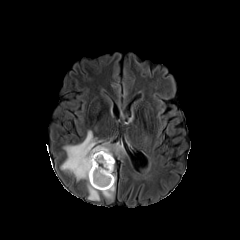
FLAIR MR.
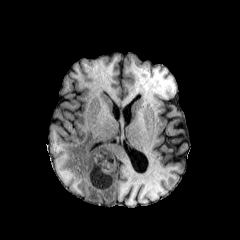
T1-weighted MR of the same slice.
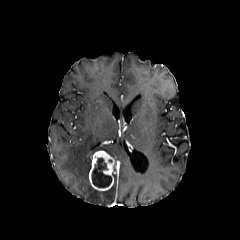
Post-contrast T1-weighted MR.
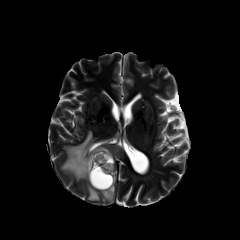
Same slice, T2-weighted magnetic resonance.
Axial view; Brain
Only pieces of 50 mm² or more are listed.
{"necrotic_tumor_core": ["[x1=92, y1=158, x2=111, y2=187]"], "enhancing_tumor": ["[x1=89, y1=150, x2=114, y2=190]"], "peritumoral_edema": ["[x1=61, y1=130, x2=125, y2=200]"]}